Slice 96/155 | Brain | Axial slice | 240x240 px
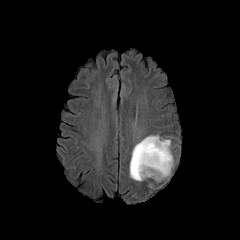
FLAIR magnetic resonance.
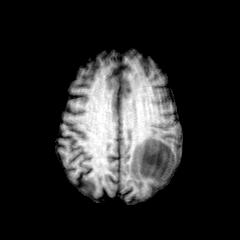
T1-weighted MR.
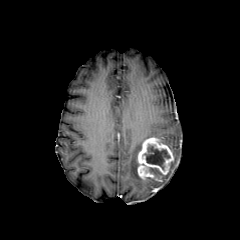
Post-contrast T1-weighted magnetic resonance.
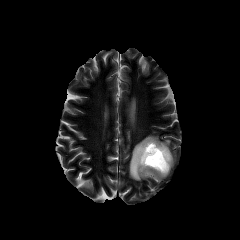
T2-weighted magnetic resonance of the same slice.
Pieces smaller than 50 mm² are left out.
peritumoral edema: 129 135 170 181 | necrotic tumor core: 144 145 169 167, 150 168 159 175 | enhancing tumor: 136 137 173 181